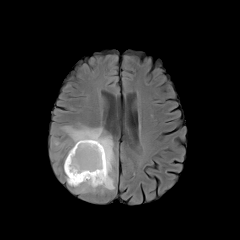
FLAIR MR.
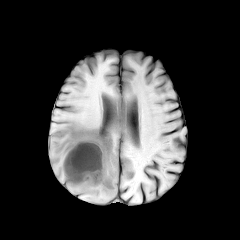
T1-weighted MR image of the same slice.
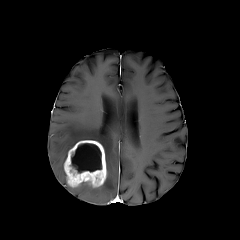
Post-contrast T1-weighted MR image of the same slice.
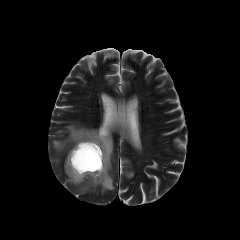
T2-weighted MR.
Axial plane
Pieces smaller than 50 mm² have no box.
peritumoral edema at box(53, 126, 115, 193)
necrotic tumor core at box(71, 143, 101, 172)
enhancing tumor at box(64, 140, 106, 187)